Head; Slice 45/155; 240x240 px; Image covers 240 mm x 240 mm
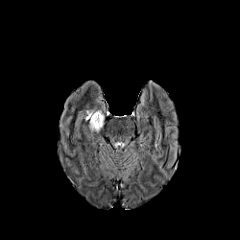
FLAIR MR image.
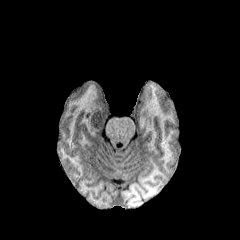
Same slice, T1-weighted MRI.
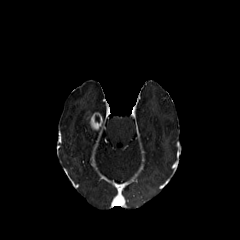
Post-contrast T1-weighted MR.
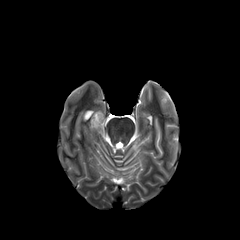
Same slice, T2-weighted MR image.
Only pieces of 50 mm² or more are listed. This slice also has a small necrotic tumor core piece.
The enhancing tumor is bounded by box=[89, 112, 103, 130]. The largest peritumoral edema region is located at box=[86, 110, 104, 123].